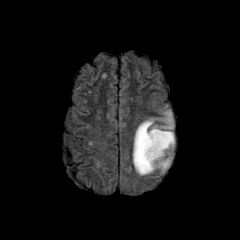
FLAIR MRI.
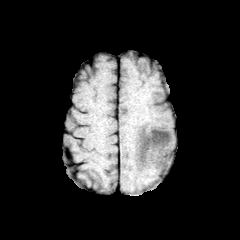
Same slice, T1-weighted MR image.
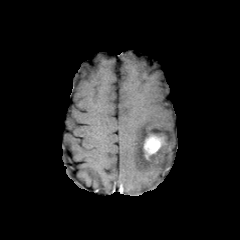
Post-contrast T1-weighted MRI.
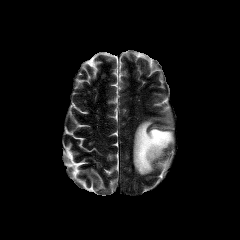
T2-weighted magnetic resonance of the same slice.
Axial view; Brain
enhancing tumor: left=143, top=133, right=166, bottom=159 | peritumoral edema: left=132, top=110, right=174, bottom=175